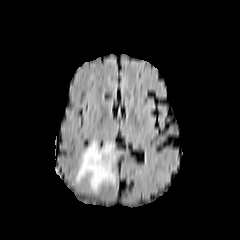
FLAIR MR image.
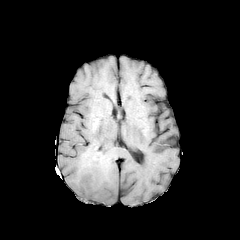
T1-weighted MRI.
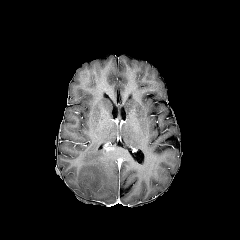
Same slice, post-contrast T1-weighted MR image.
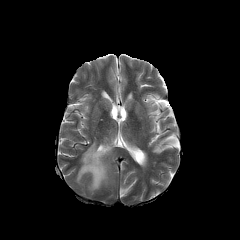
T2-weighted MR.
Brain | Axial slice
The peritumoral edema is at 76, 141, 125, 191. The enhancing tumor appears at 103, 146, 114, 154.